Image covers 240 mm x 240 mm, Brain, Axial plane
FLAIR MR.
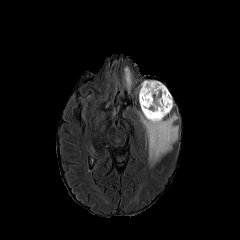
T1-weighted magnetic resonance.
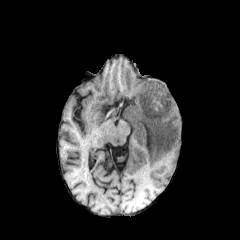
Post-contrast T1-weighted MR image.
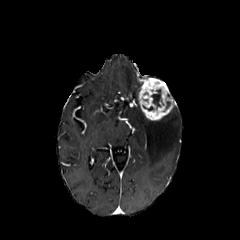
T2-weighted MR.
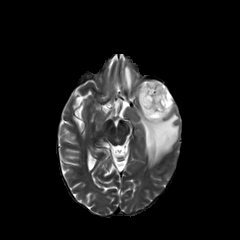
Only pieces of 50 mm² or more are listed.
Annotated regions:
• peritumoral edema: 137:110:179:166, 123:66:132:92
• necrotic tumor core: 152:89:160:106
• enhancing tumor: 138:79:175:120